Brain | Axial slice | Slice 78 of 155
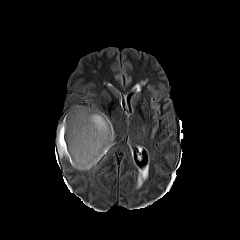
FLAIR MRI.
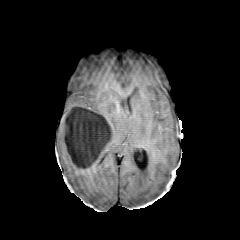
Same slice, T1-weighted MR image.
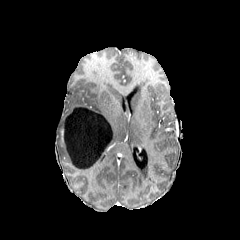
Post-contrast T1-weighted MR image of the same slice.
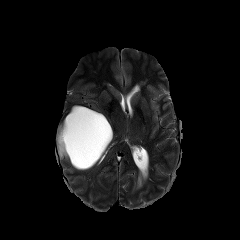
Same slice, T2-weighted magnetic resonance.
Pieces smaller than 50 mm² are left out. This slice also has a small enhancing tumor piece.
necrotic tumor core: bounding box rect(63, 107, 112, 168)
peritumoral edema: bounding box rect(56, 107, 114, 170)